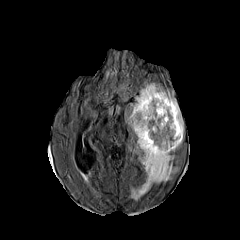
FLAIR MR image.
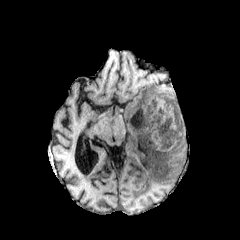
T1-weighted MR image.
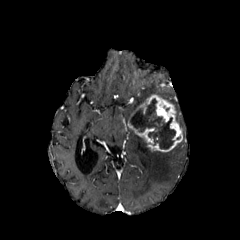
Post-contrast T1-weighted MR image.
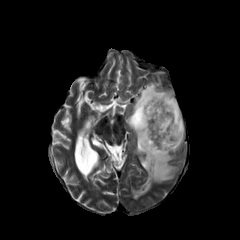
T2-weighted MR of the same slice.
Image size 240x240.
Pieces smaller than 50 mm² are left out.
enhancing tumor: {"x1": 128, "y1": 94, "x2": 182, "y2": 152} | necrotic tumor core: {"x1": 130, "y1": 98, "x2": 175, "y2": 149} | peritumoral edema: {"x1": 131, "y1": 82, "x2": 184, "y2": 139}, {"x1": 131, "y1": 136, "x2": 177, "y2": 199}